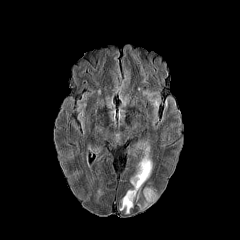
FLAIR MR image.
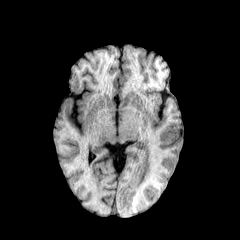
T1-weighted MR.
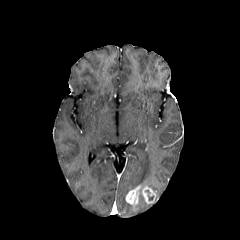
Same slice, post-contrast T1-weighted magnetic resonance.
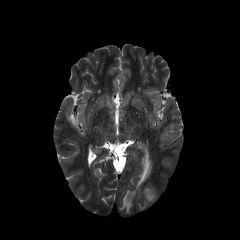
Same slice, T2-weighted magnetic resonance.
Axial view
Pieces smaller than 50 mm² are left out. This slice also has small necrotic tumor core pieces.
peritumoral edema — l=130, t=141, r=153, b=187; l=120, t=188, r=134, b=213
enhancing tumor — l=142, t=186, r=156, b=203; l=125, t=185, r=140, b=204